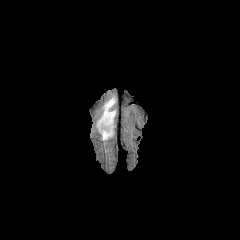
FLAIR MRI.
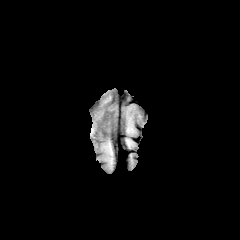
T1-weighted magnetic resonance.
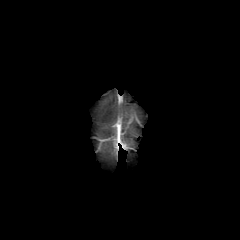
Post-contrast T1-weighted MRI.
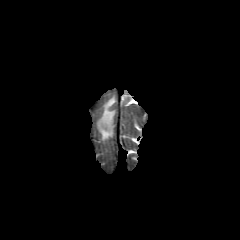
T2-weighted MR image.
Head. 240x240.
peritumoral edema — (97,97,115,139)